FLAIR MRI.
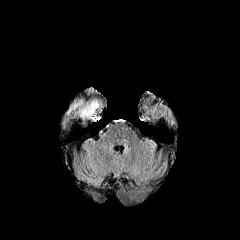
T1-weighted MR.
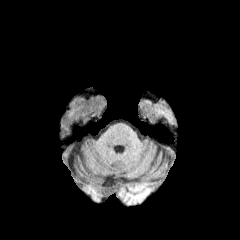
Post-contrast T1-weighted MR.
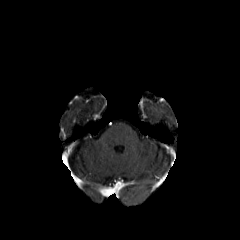
T2-weighted MR.
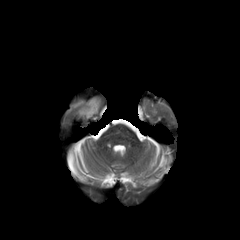
Brain. Axial plane.
peritumoral edema: rect(79, 99, 100, 117); rect(71, 100, 82, 109)